Brain, Image size 240x240
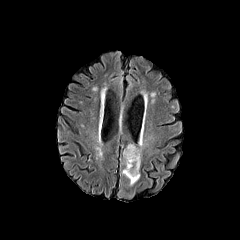
FLAIR MR image.
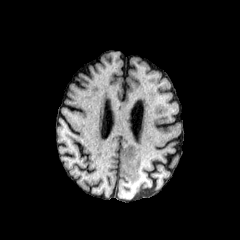
Same slice, T1-weighted MR image.
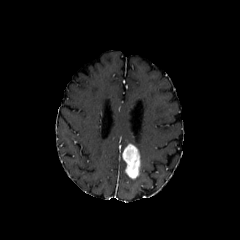
Post-contrast T1-weighted MRI of the same slice.
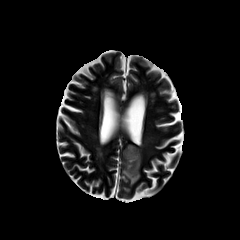
Same slice, T2-weighted MR image.
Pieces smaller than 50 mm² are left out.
Findings:
- peritumoral edema: 121,169,140,185; 138,139,144,159
- enhancing tumor: 122,144,140,179